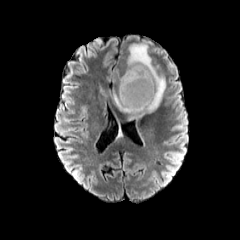
FLAIR MR image.
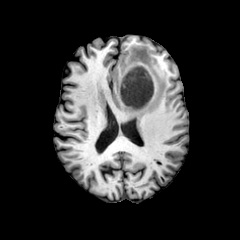
T1-weighted magnetic resonance.
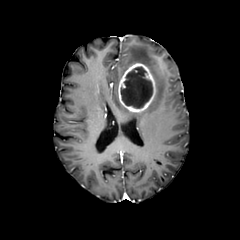
Post-contrast T1-weighted MR of the same slice.
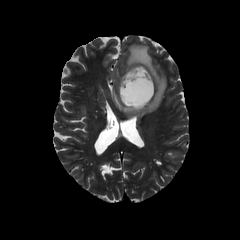
T2-weighted magnetic resonance.
Head.
Findings:
- enhancing tumor: 118, 63, 156, 112
- peritumoral edema: 113, 44, 166, 119
- necrotic tumor core: 121, 67, 152, 108